Image width 240 mm | Head
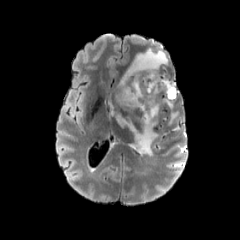
FLAIR magnetic resonance.
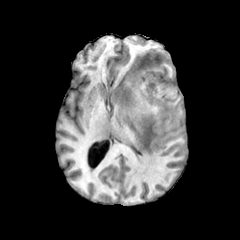
T1-weighted MRI.
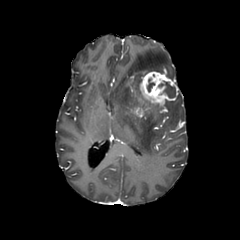
Same slice, post-contrast T1-weighted MRI.
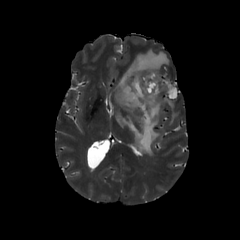
T2-weighted magnetic resonance of the same slice.
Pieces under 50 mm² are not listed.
peritumoral edema: rect(112, 48, 168, 156); rect(165, 101, 178, 124) | necrotic tumor core: rect(158, 81, 175, 98); rect(147, 79, 154, 91) | enhancing tumor: rect(139, 71, 178, 106); rect(135, 108, 142, 116)